FLAIR MRI.
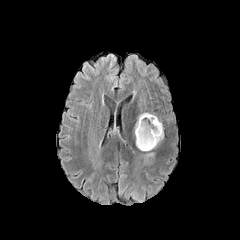
T1-weighted MRI.
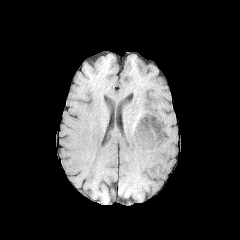
Post-contrast T1-weighted MR image.
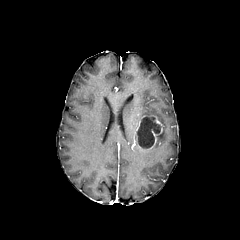
T2-weighted MR.
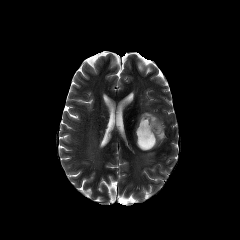
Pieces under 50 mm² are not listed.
necrotic_tumor_core:
  - [x1=137, y1=117, x2=160, y2=148]
enhancing_tumor:
  - [x1=135, y1=116, x2=162, y2=150]
peritumoral_edema:
  - [x1=136, y1=112, x2=154, y2=125]
  - [x1=154, y1=128, x2=163, y2=147]